Axial plane | Brain
FLAIR MR.
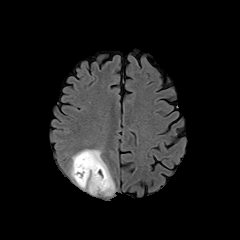
T1-weighted magnetic resonance.
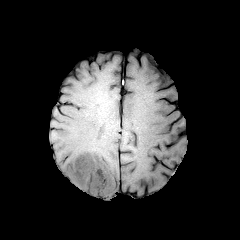
Post-contrast T1-weighted MR image.
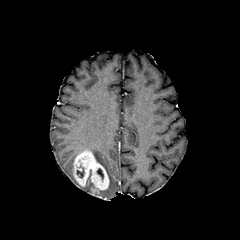
T2-weighted magnetic resonance.
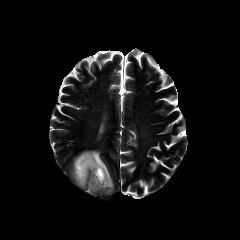
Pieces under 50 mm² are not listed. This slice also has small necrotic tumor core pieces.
The enhancing tumor appears at 73,150,109,193. The 2 largest peritumoral edema regions appear at 86,149,115,195; 69,150,94,194.